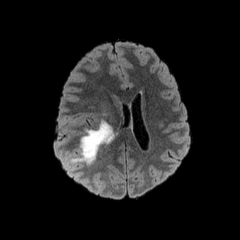
FLAIR magnetic resonance.
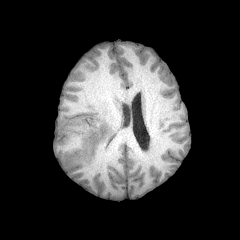
T1-weighted MR image of the same slice.
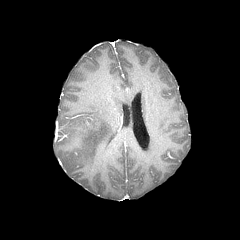
Same slice, post-contrast T1-weighted MR image.
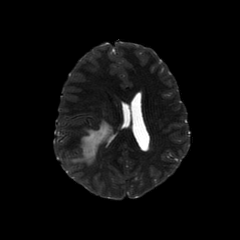
T2-weighted magnetic resonance.
Axial slice
peritumoral edema: bounding box x1=69 y1=120 x2=113 y2=164